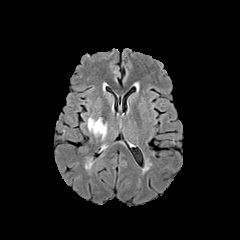
FLAIR MRI.
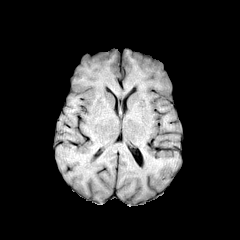
Same slice, T1-weighted MRI.
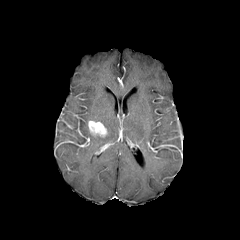
Post-contrast T1-weighted magnetic resonance.
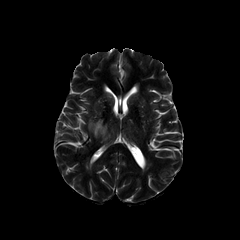
Same slice, T2-weighted MR image.
Brain, Axial slice, 240x240 px
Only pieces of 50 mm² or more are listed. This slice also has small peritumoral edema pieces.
The enhancing tumor lies within (x1=88, y1=121, x2=106, y2=136).